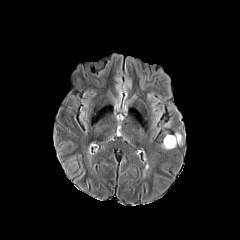
FLAIR MR.
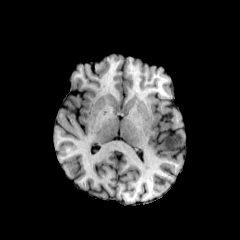
T1-weighted MR image.
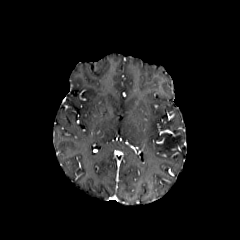
Same slice, post-contrast T1-weighted MRI.
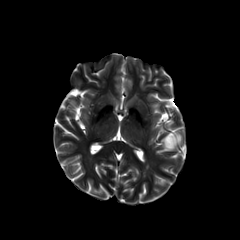
T2-weighted MR image.
Brain.
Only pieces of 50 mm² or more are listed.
peritumoral edema at 162:134:182:149